Image width 240 mm | Brain
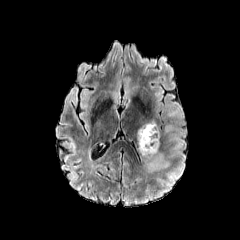
FLAIR MRI.
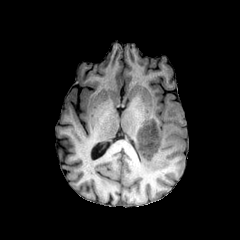
Same slice, T1-weighted MR image.
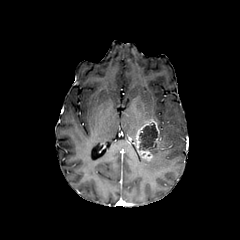
Post-contrast T1-weighted MRI.
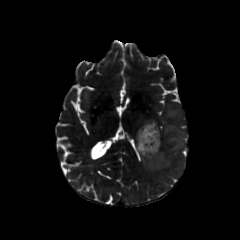
T2-weighted magnetic resonance.
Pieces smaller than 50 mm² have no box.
necrotic tumor core = <box>139,123,157,151</box>
enhancing tumor = <box>136,119,160,160</box>
peritumoral edema = <box>171,137,182,149</box>, <box>146,148,162,169</box>, <box>168,110,176,116</box>